FLAIR MR.
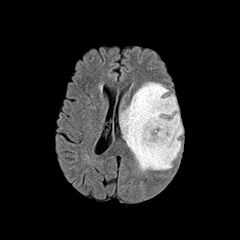
T1-weighted MR image.
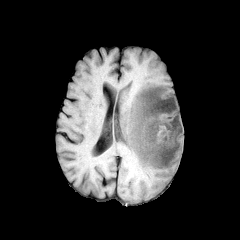
Post-contrast T1-weighted MRI.
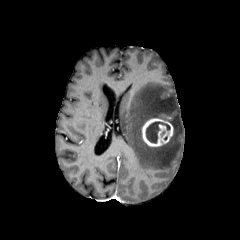
T2-weighted magnetic resonance.
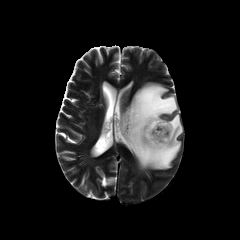
Axial plane
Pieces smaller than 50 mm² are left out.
{"enhancing_tumor": ["x1=142, y1=118, x2=173, y2=146"], "peritumoral_edema": ["x1=120, y1=82, x2=183, y2=170"], "necrotic_tumor_core": ["x1=146, y1=122, x2=170, y2=143"]}